Image width 240 mm; Axial view
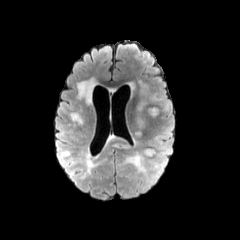
FLAIR MR.
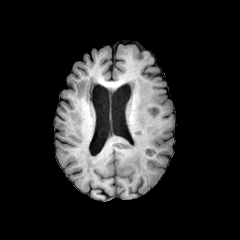
T1-weighted magnetic resonance.
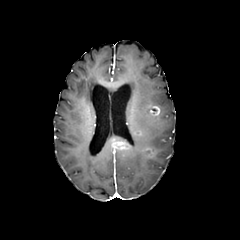
Post-contrast T1-weighted magnetic resonance of the same slice.
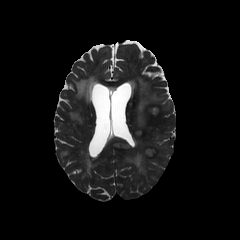
Same slice, T2-weighted MRI.
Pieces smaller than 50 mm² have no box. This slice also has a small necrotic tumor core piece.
- peritumoral edema: [x1=125, y1=153, x2=145, y2=172], [x1=144, y1=148, x2=155, y2=156], [x1=137, y1=103, x2=148, y2=130]
- enhancing tumor: [x1=114, y1=141, x2=126, y2=149], [x1=148, y1=106, x2=160, y2=116]